FLAIR MR image.
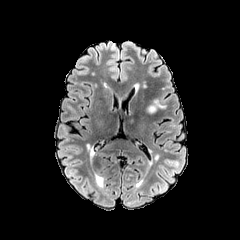
T1-weighted magnetic resonance.
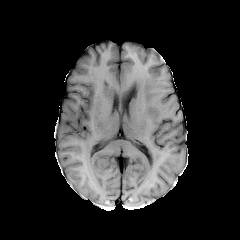
Post-contrast T1-weighted magnetic resonance.
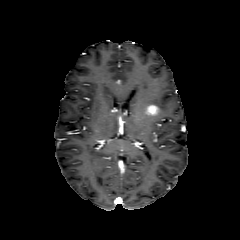
T2-weighted MR.
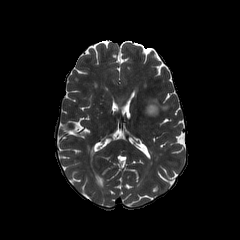
Axial slice
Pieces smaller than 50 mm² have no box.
The largest peritumoral edema region is at (146,99,166,111). The enhancing tumor is bounded by (146,105,158,115).